FLAIR MR.
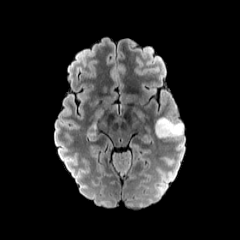
T1-weighted magnetic resonance.
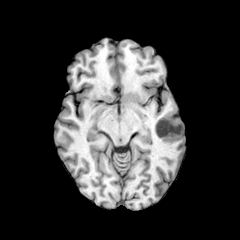
Post-contrast T1-weighted MR image.
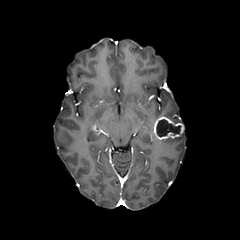
T2-weighted magnetic resonance.
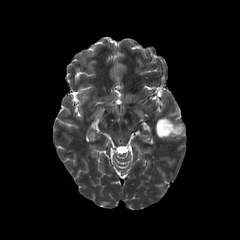
Brain.
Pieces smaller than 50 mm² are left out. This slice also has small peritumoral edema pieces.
necrotic tumor core: region(156, 119, 180, 136) | enhancing tumor: region(154, 116, 184, 139)